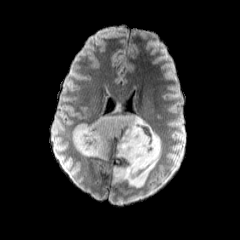
FLAIR MR.
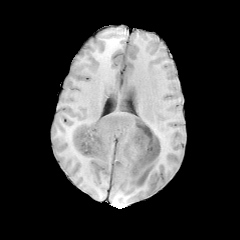
T1-weighted MR.
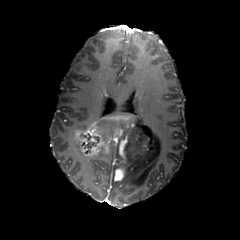
Post-contrast T1-weighted MRI.
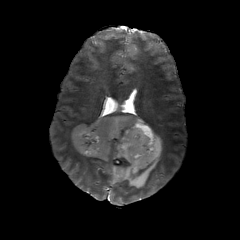
Same slice, T2-weighted MR image.
Axial slice; Brain; 240x240
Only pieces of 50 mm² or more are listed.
Annotated regions:
* necrotic tumor core: [x1=81, y1=142, x2=95, y2=153], [x1=99, y1=118, x2=132, y2=141]
* peritumoral edema: [x1=97, y1=150, x2=110, y2=159], [x1=105, y1=108, x2=161, y2=188]
* enhancing tumor: [x1=113, y1=164, x2=123, y2=181], [x1=72, y1=118, x2=128, y2=160], [x1=102, y1=115, x2=138, y2=128]